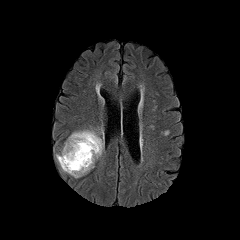
FLAIR magnetic resonance.
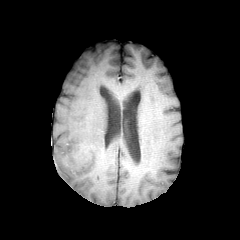
T1-weighted magnetic resonance of the same slice.
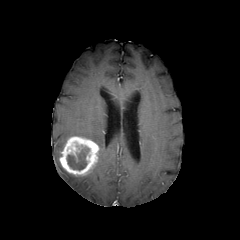
Post-contrast T1-weighted MR.
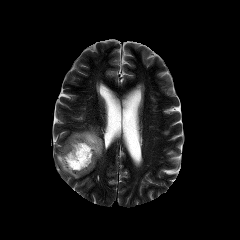
T2-weighted MR.
Brain | 240x240
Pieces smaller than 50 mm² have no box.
enhancing tumor = x1=59, y1=136, x2=99, y2=175
necrotic tumor core = x1=67, y1=147, x2=89, y2=170
peritumoral edema = x1=69, y1=127, x2=104, y2=159; x1=56, y1=153, x2=68, y2=173